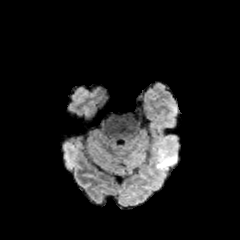
FLAIR MR image.
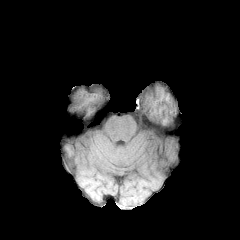
Same slice, T1-weighted MR image.
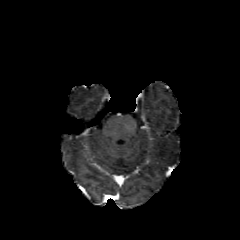
Post-contrast T1-weighted MRI of the same slice.
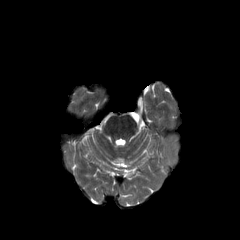
Same slice, T2-weighted MR.
Axial plane | 240x240 px | Head
<segmentation>
  <peritumoral_edema>rect(158, 142, 176, 165)</peritumoral_edema>
</segmentation>